Axial plane; Image width 240 mm; Slice 128 of 155; Head
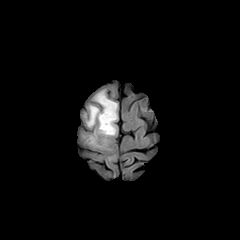
FLAIR MR.
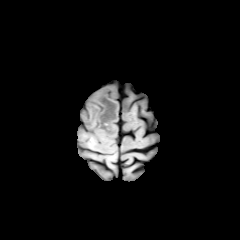
Same slice, T1-weighted MR image.
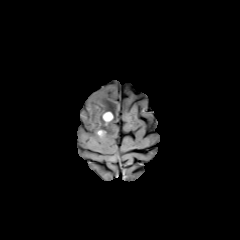
Post-contrast T1-weighted MRI of the same slice.
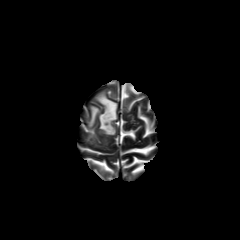
T2-weighted MR.
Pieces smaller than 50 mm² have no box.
The largest peritumoral edema region is bounded by [x1=86, y1=90, x2=117, y2=145]. The largest enhancing tumor region lies within [x1=102, y1=112, x2=113, y2=122].